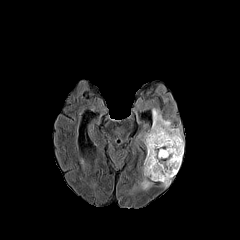
FLAIR MR.
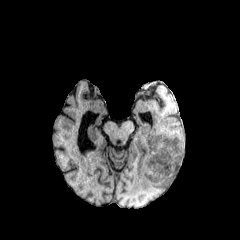
T1-weighted MR.
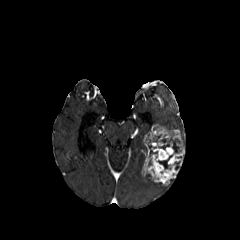
Post-contrast T1-weighted magnetic resonance.
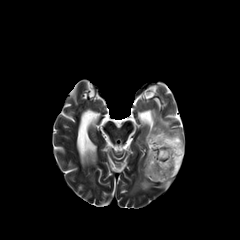
Same slice, T2-weighted MR.
Brain | Axial plane
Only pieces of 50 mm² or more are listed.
enhancing_tumor:
  - {"x1": 142, "y1": 124, "x2": 184, "y2": 185}
necrotic_tumor_core:
  - {"x1": 159, "y1": 138, "x2": 180, "y2": 152}
  - {"x1": 158, "y1": 155, "x2": 172, "y2": 169}
peritumoral_edema:
  - {"x1": 139, "y1": 175, "x2": 152, "y2": 189}
  - {"x1": 152, "y1": 109, "x2": 174, "y2": 129}